FLAIR MR.
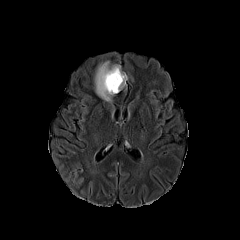
T1-weighted magnetic resonance.
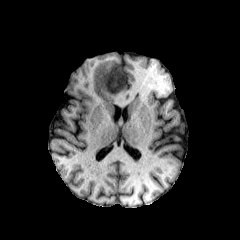
Post-contrast T1-weighted magnetic resonance.
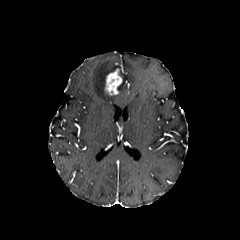
T2-weighted MR image.
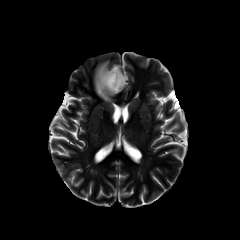
Brain, Axial view
The enhancing tumor lies within box(105, 68, 122, 95). The peritumoral edema is at box(94, 61, 128, 101).